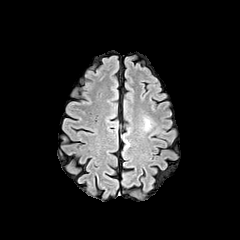
FLAIR MR.
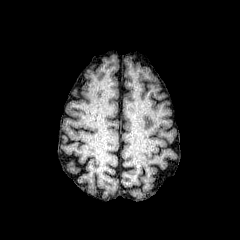
T1-weighted MRI of the same slice.
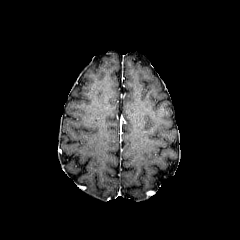
Post-contrast T1-weighted MRI.
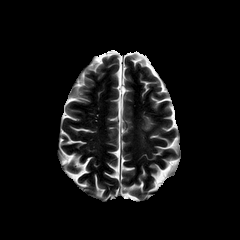
Same slice, T2-weighted MR image.
Findings:
- peritumoral edema: 142, 117, 151, 131